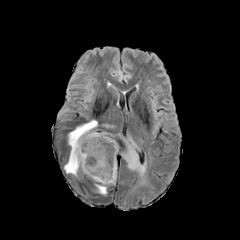
FLAIR MR image.
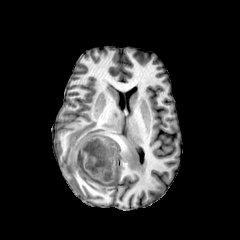
T1-weighted magnetic resonance of the same slice.
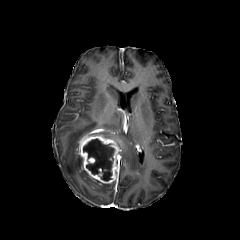
Same slice, post-contrast T1-weighted MRI.
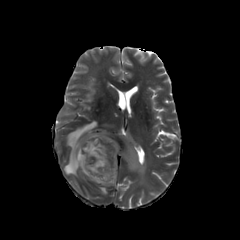
Same slice, T2-weighted MR image.
Image size 240x240; Axial plane
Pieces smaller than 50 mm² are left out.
• enhancing tumor: [76,133,120,183]
• necrotic tumor core: [83,139,113,180]
• peritumoral edema: [121,137,146,182], [96,182,114,194], [64,120,97,176]